FLAIR magnetic resonance.
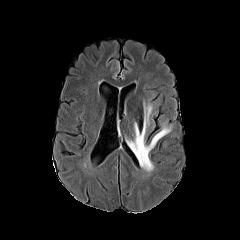
T1-weighted MR image.
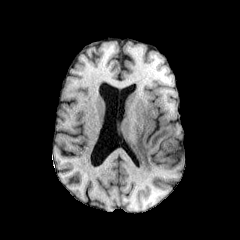
Post-contrast T1-weighted MRI.
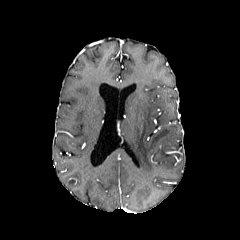
T2-weighted magnetic resonance.
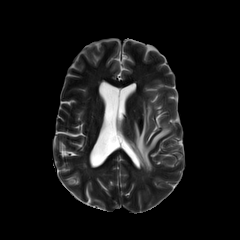
Axial view; Image size 240x240
The peritumoral edema is located at l=128, t=102, r=171, b=171.